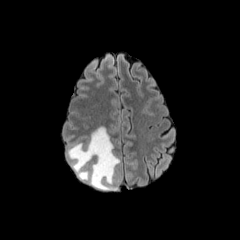
FLAIR magnetic resonance.
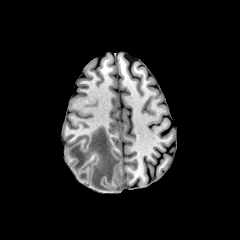
T1-weighted MR image.
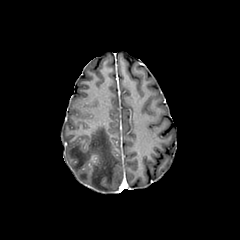
Post-contrast T1-weighted MR.
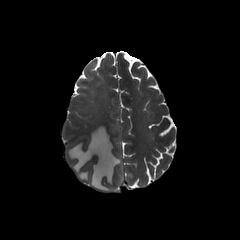
T2-weighted magnetic resonance of the same slice.
Head | Axial view
The peritumoral edema appears at [x1=67, y1=126, x2=120, y2=190].